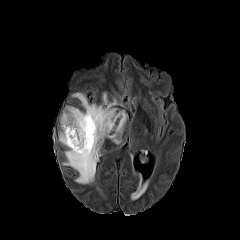
FLAIR MR image.
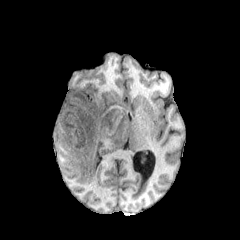
T1-weighted magnetic resonance.
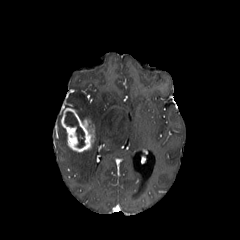
Post-contrast T1-weighted MRI.
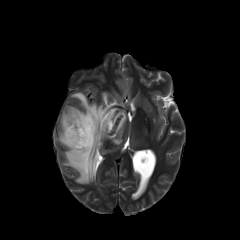
T2-weighted magnetic resonance.
Brain, Axial slice
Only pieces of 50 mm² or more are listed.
The largest necrotic tumor core region is bounded by 64:111:85:148. The largest enhancing tumor region is bounded by 61:108:94:152. The 3 largest peritumoral edema regions are located at 131:173:149:199, 63:92:127:184, 59:119:67:146.